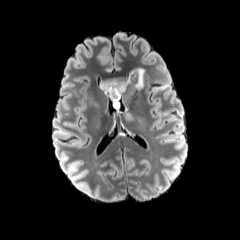
FLAIR MR.
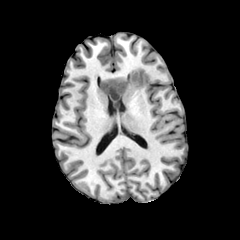
T1-weighted magnetic resonance.
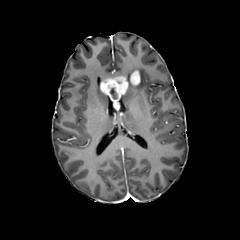
Post-contrast T1-weighted MR of the same slice.
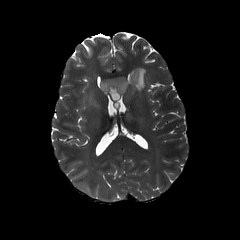
T2-weighted MRI of the same slice.
Head; 240x240
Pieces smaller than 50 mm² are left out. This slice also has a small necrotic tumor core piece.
The 4 largest peritumoral edema regions are bounded by box(72, 89, 80, 99); box(87, 95, 97, 105); box(124, 113, 133, 122); box(125, 66, 145, 90). 2 enhancing tumor regions are located at box(100, 76, 128, 110); box(130, 71, 140, 86).